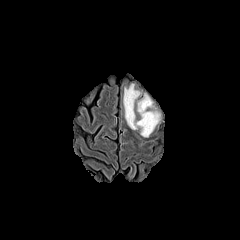
FLAIR MR.
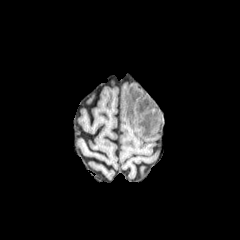
T1-weighted magnetic resonance of the same slice.
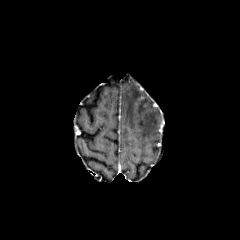
Post-contrast T1-weighted MR image of the same slice.
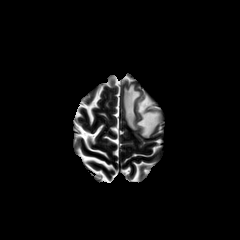
T2-weighted MR.
{
  "peritumoral_edema": [
    "bbox=[123, 82, 160, 137]"
  ]
}